FLAIR MR image.
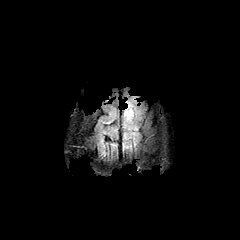
T1-weighted MR.
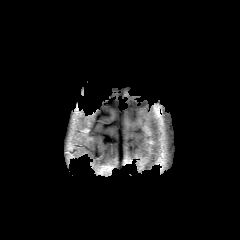
Post-contrast T1-weighted MR.
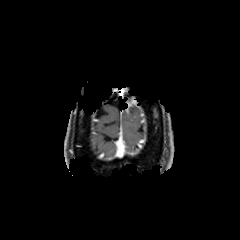
T2-weighted MR image.
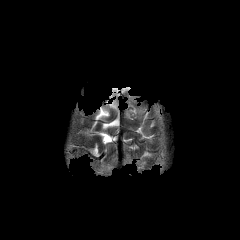
Head | Image size 240x240
The enhancing tumor appears at (x1=125, y1=98, x2=136, y2=113). The peritumoral edema lies within (x1=125, y1=108, x2=133, y2=118).